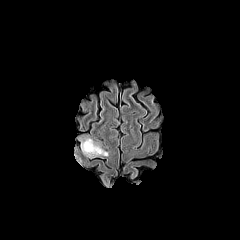
FLAIR MR image.
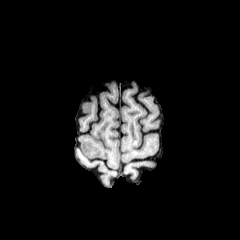
T1-weighted MR of the same slice.
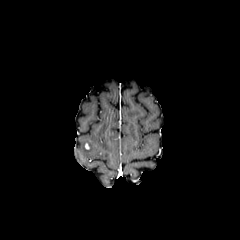
Post-contrast T1-weighted magnetic resonance.
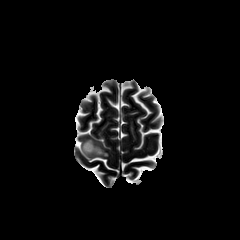
T2-weighted MR.
Head, Image size 240x240
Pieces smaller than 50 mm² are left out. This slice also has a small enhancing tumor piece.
peritumoral edema: region(81, 138, 107, 156)